FLAIR MR image.
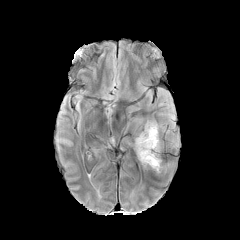
T1-weighted MR image.
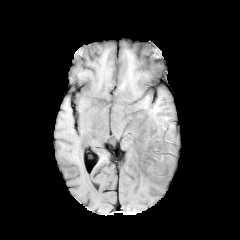
Post-contrast T1-weighted magnetic resonance.
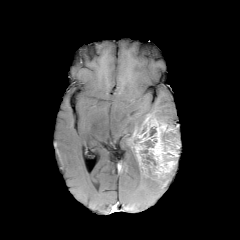
T2-weighted MRI.
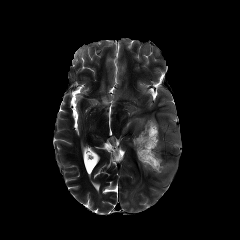
Axial slice; Head
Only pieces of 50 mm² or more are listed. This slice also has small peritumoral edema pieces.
The 2 largest necrotic tumor core regions are bounded by 143,155,156,172; 144,140,154,147. The enhancing tumor is bounded by 131,117,179,177.